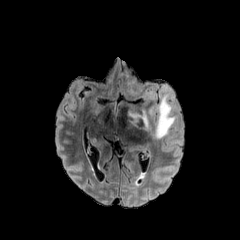
FLAIR MRI.
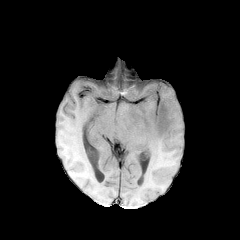
T1-weighted MRI of the same slice.
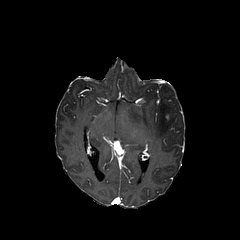
Same slice, post-contrast T1-weighted MR image.
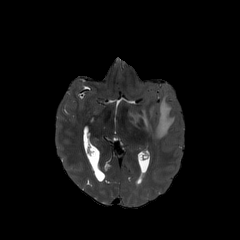
T2-weighted MR.
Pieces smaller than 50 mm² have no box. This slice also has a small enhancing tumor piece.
{
  "peritumoral_edema": [
    "155, 93, 176, 139",
    "127, 109, 150, 130"
  ]
}